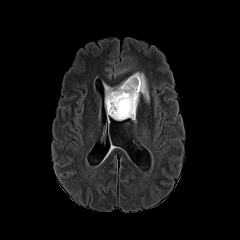
FLAIR magnetic resonance.
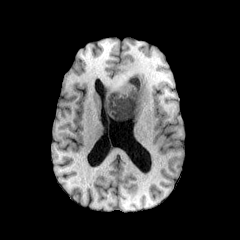
Same slice, T1-weighted MRI.
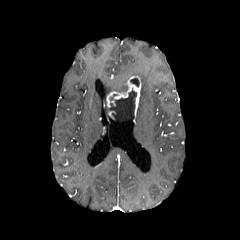
Same slice, post-contrast T1-weighted MRI.
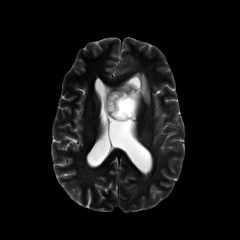
T2-weighted MR.
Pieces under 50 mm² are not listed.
<segmentation>
  <enhancing_tumor>{"x1": 106, "y1": 76, "x2": 141, "y2": 123}</enhancing_tumor>
  <peritumoral_edema>{"x1": 132, "y1": 72, "x2": 149, "y2": 102}, {"x1": 104, "y1": 80, "x2": 127, "y2": 97}</peritumoral_edema>
  <necrotic_tumor_core>{"x1": 107, "y1": 89, "x2": 136, "y2": 121}, {"x1": 130, "y1": 78, "x2": 139, "y2": 86}</necrotic_tumor_core>
</segmentation>